FLAIR MR image.
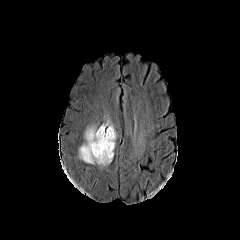
T1-weighted magnetic resonance.
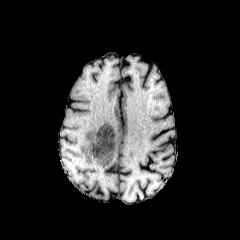
Post-contrast T1-weighted MRI.
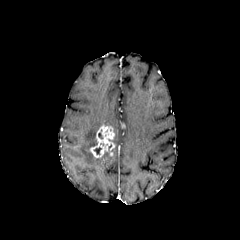
T2-weighted MRI.
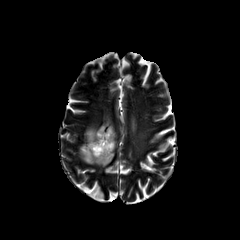
Brain, Image size 240x240
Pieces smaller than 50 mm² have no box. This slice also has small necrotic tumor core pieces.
peritumoral_edema:
  - <box>79,126,113,166</box>
enhancing_tumor:
  - <box>90,125,115,161</box>